Brain. Slice index 79.
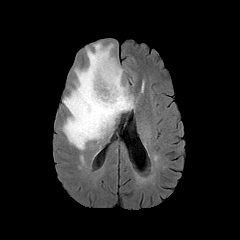
FLAIR MR.
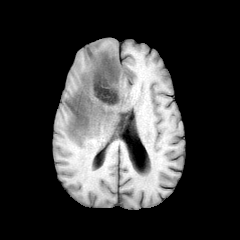
T1-weighted MR.
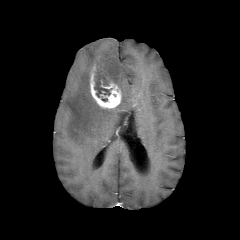
Same slice, post-contrast T1-weighted MR image.
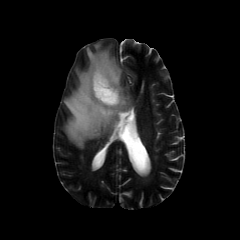
Same slice, T2-weighted MR image.
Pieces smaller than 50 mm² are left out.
peritumoral_edema:
  - (62, 42, 134, 149)
enhancing_tumor:
  - (89, 58, 121, 108)
necrotic_tumor_core:
  - (94, 68, 110, 97)